Axial plane, Slice 53/155
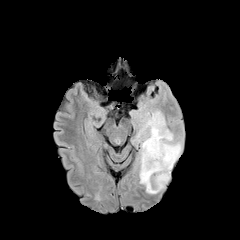
FLAIR magnetic resonance.
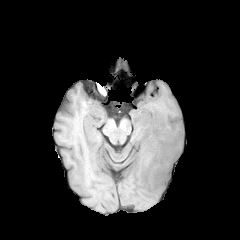
Same slice, T1-weighted MR image.
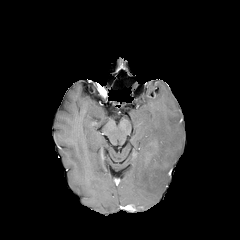
Post-contrast T1-weighted MR image.
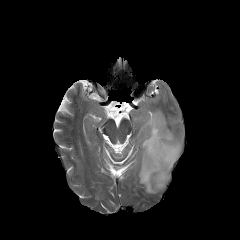
T2-weighted MR image.
Findings:
* peritumoral edema: box=[135, 110, 182, 193]